FLAIR MR.
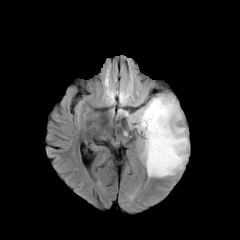
T1-weighted MRI.
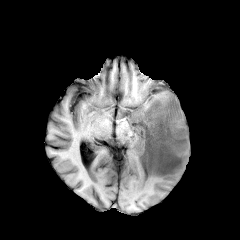
Post-contrast T1-weighted MR image.
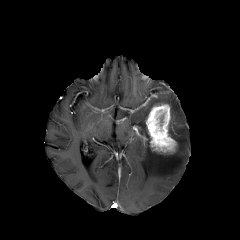
T2-weighted magnetic resonance.
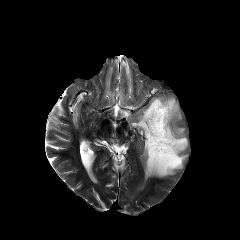
Image size 240x240 | Brain | Axial plane
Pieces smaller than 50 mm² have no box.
peritumoral edema: <box>119,95,188,177</box> | enhancing tumor: <box>145,103,177,154</box>